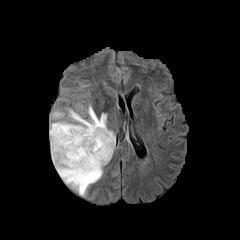
FLAIR MR.
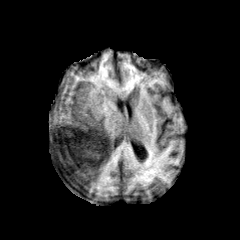
Same slice, T1-weighted MRI.
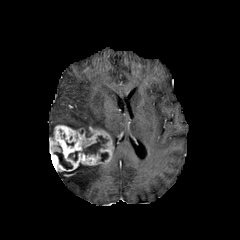
Same slice, post-contrast T1-weighted magnetic resonance.
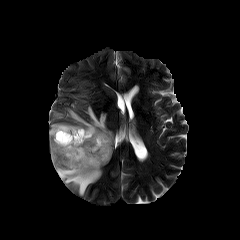
Same slice, T2-weighted MR.
Axial plane; Head
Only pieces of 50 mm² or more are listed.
necrotic tumor core: rect(69, 151, 78, 161); rect(54, 152, 72, 169); rect(99, 152, 108, 161); rect(83, 136, 108, 154) | peritumoral edema: rect(49, 105, 115, 148); rect(52, 111, 64, 119); rect(58, 163, 103, 195) | enhancing tumor: rect(49, 125, 113, 172)